FLAIR MR image.
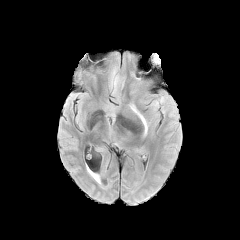
T1-weighted MR image.
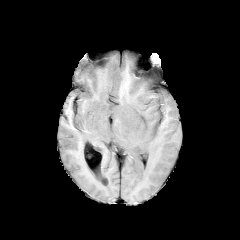
Post-contrast T1-weighted MR image.
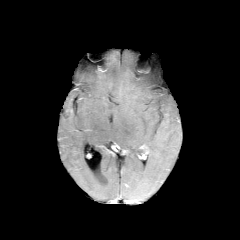
T2-weighted magnetic resonance.
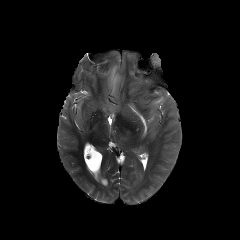
Head, Axial plane
{
  "peritumoral_edema": [
    "box=[108, 52, 151, 99]",
    "box=[153, 97, 164, 106]",
    "box=[130, 104, 147, 134]"
  ]
}